Slice 69 of 155 | 240x240
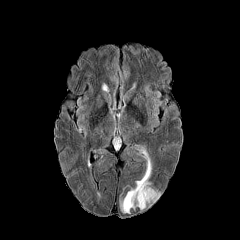
FLAIR MR image.
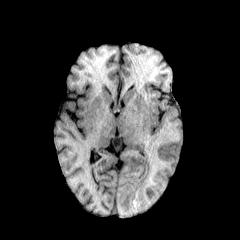
T1-weighted MR image of the same slice.
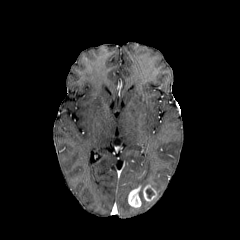
Post-contrast T1-weighted MRI.
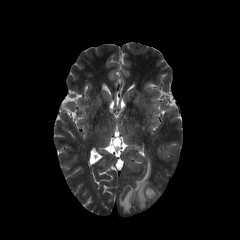
T2-weighted magnetic resonance of the same slice.
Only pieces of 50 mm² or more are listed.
peritumoral edema: (x1=119, y1=191, x2=135, y2=213), (x1=135, y1=147, x2=151, y2=187)
enhancing tumor: (x1=143, y1=185, x2=157, y2=201), (x1=128, y1=185, x2=141, y2=207)
necrotic tumor core: (x1=146, y1=188, x2=154, y2=198)